Axial slice; Head; Image size 240x240; Slice 95/155; Image width 240 mm
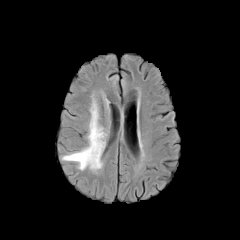
FLAIR MR.
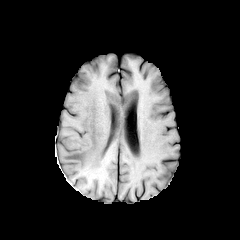
Same slice, T1-weighted magnetic resonance.
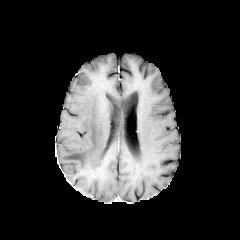
Post-contrast T1-weighted MRI.
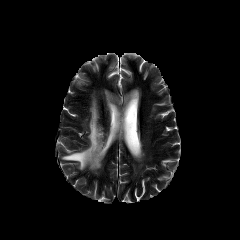
Same slice, T2-weighted magnetic resonance.
The peritumoral edema is bounded by region(61, 98, 106, 170).